FLAIR MR.
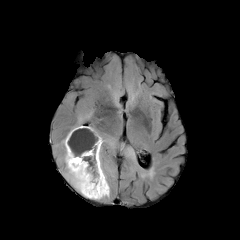
T1-weighted MR image.
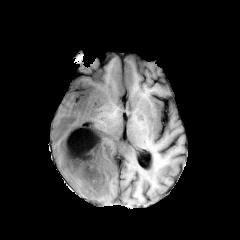
Post-contrast T1-weighted MRI.
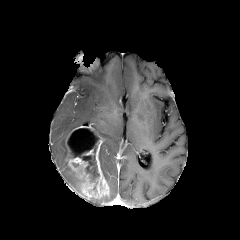
T2-weighted MRI.
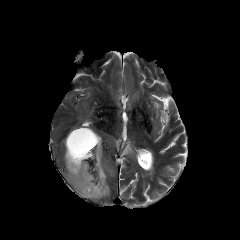
Axial plane; Brain
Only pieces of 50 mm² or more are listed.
Annotated regions:
- enhancing tumor: [65, 125, 109, 198]
- peritumoral edema: [99, 145, 112, 180], [70, 116, 83, 131], [103, 139, 115, 146], [62, 138, 80, 193]
- necrotic tumor core: [67, 128, 99, 181]